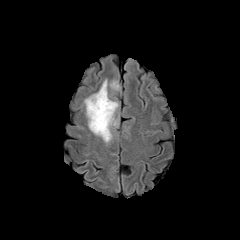
FLAIR MRI.
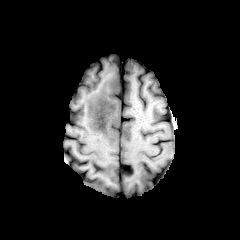
T1-weighted magnetic resonance.
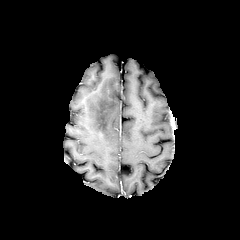
Post-contrast T1-weighted MRI of the same slice.
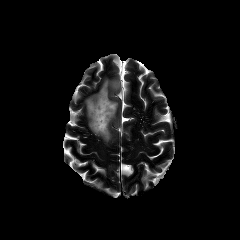
T2-weighted MRI.
Head
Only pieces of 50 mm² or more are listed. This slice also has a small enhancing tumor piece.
* peritumoral edema: box=[84, 79, 119, 142]